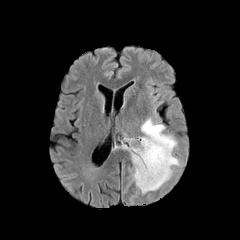
FLAIR magnetic resonance.
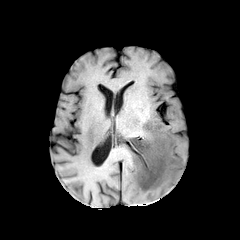
T1-weighted magnetic resonance.
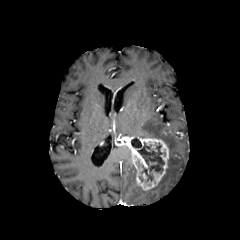
Same slice, post-contrast T1-weighted MR image.
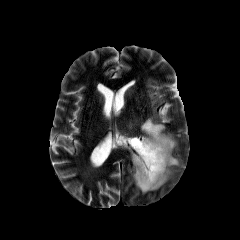
T2-weighted magnetic resonance.
Axial slice, Brain
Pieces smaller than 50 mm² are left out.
peritumoral edema = {"x1": 136, "y1": 117, "x2": 180, "y2": 194}
necrotic tumor core = {"x1": 143, "y1": 169, "x2": 152, "y2": 180}, {"x1": 131, "y1": 138, "x2": 141, "y2": 147}, {"x1": 138, "y1": 144, "x2": 164, "y2": 172}
enhancing tumor = {"x1": 120, "y1": 137, "x2": 169, "y2": 190}